FLAIR MR.
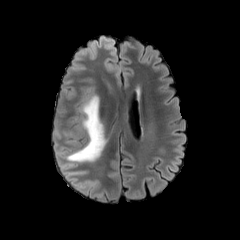
T1-weighted MRI.
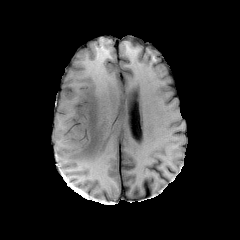
Post-contrast T1-weighted MR.
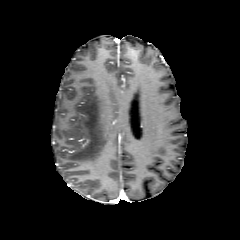
T2-weighted MR image.
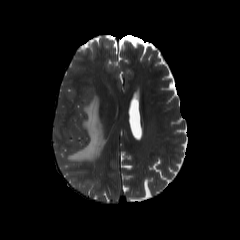
Head
peritumoral edema — 66 94 105 162